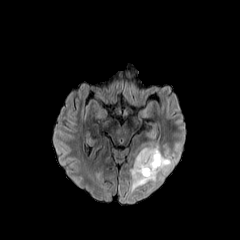
FLAIR MRI.
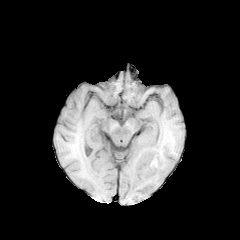
T1-weighted MR image of the same slice.
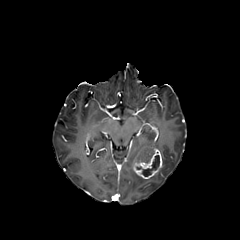
Post-contrast T1-weighted magnetic resonance.
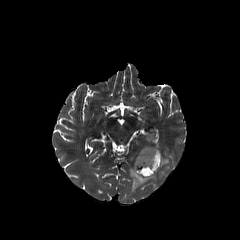
T2-weighted magnetic resonance of the same slice.
Head
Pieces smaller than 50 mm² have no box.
enhancing tumor — x1=133 y1=149 x2=162 y2=179
necrotic tumor core — x1=142 y1=155 x2=159 y2=176
peritumoral edema — x1=134 y1=145 x2=159 y2=163, x1=129 y1=149 x2=174 y2=191